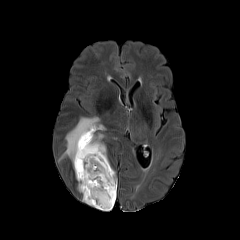
FLAIR MR image.
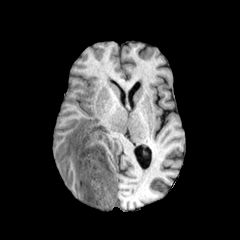
T1-weighted MR.
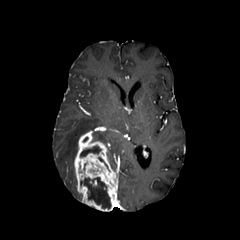
Post-contrast T1-weighted magnetic resonance.
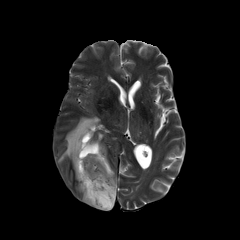
T2-weighted MR.
Brain, Image size 240x240
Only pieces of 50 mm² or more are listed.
peritumoral edema: 58, 116, 102, 166; 93, 131, 104, 140 | necrotic tumor core: 80, 177, 111, 208; 80, 146, 100, 156 | enhancing tumor: 74, 129, 117, 211